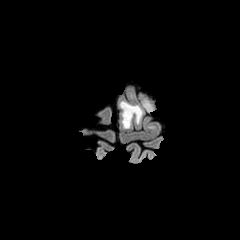
FLAIR MR image.
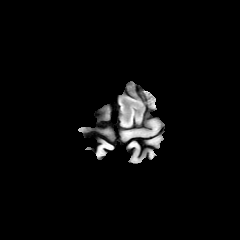
T1-weighted MR of the same slice.
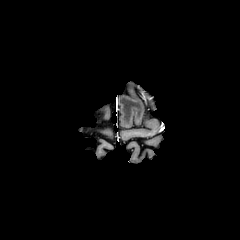
Post-contrast T1-weighted MR.
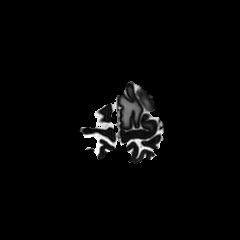
T2-weighted magnetic resonance.
Head; Axial plane; 240x240
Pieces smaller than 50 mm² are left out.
Segmented structures:
- peritumoral edema: (x1=120, y1=99, x2=143, y2=128), (x1=141, y1=97, x2=153, y2=111)